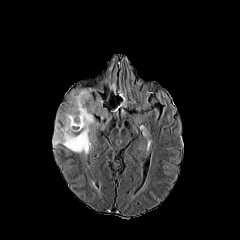
FLAIR MR.
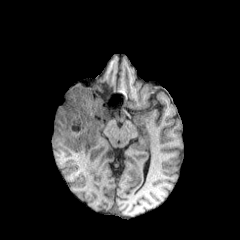
Same slice, T1-weighted MR.
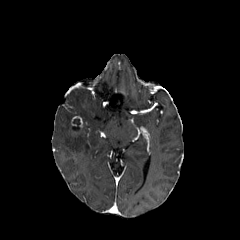
Post-contrast T1-weighted MR of the same slice.
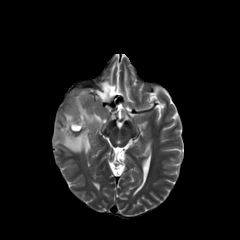
Same slice, T2-weighted magnetic resonance.
Axial slice, Brain, Image size 240x240
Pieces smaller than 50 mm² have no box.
necrotic tumor core: x1=72, y1=118, x2=80, y2=130 | peritumoral edema: x1=52, y1=87, x2=111, y2=155 | enhancing tumor: x1=71, y1=116, x2=82, y2=127